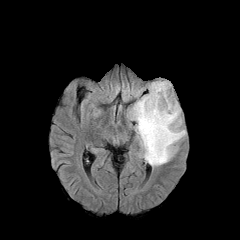
FLAIR magnetic resonance.
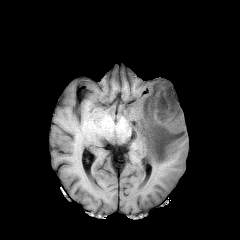
Same slice, T1-weighted MR.
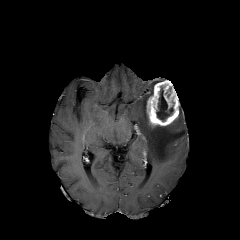
Post-contrast T1-weighted MR.
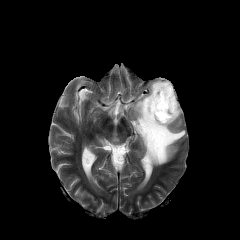
T2-weighted MR of the same slice.
Image size 240x240. Brain.
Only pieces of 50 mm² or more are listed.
enhancing tumor: {"x1": 146, "y1": 80, "x2": 179, "y2": 126} | necrotic tumor core: {"x1": 156, "y1": 87, "x2": 173, "y2": 121} | peritumoral edema: {"x1": 129, "y1": 80, "x2": 185, "y2": 166}